Slice index 86; Axial slice; Brain
FLAIR MR.
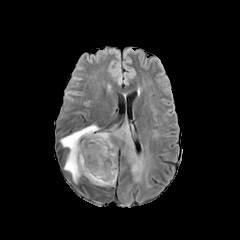
T1-weighted MRI.
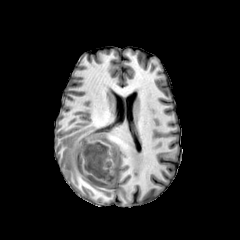
Post-contrast T1-weighted MR.
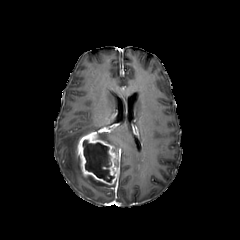
T2-weighted magnetic resonance.
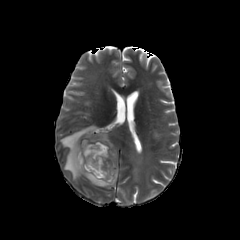
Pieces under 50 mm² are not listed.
<segmentation>
  <necrotic_tumor_core>x1=83 y1=140 x2=114 y2=182</necrotic_tumor_core>
  <enhancing_tumor>x1=76 y1=132 x2=119 y2=185</enhancing_tumor>
  <peritumoral_edema>x1=98 y1=129 x2=145 y2=181, x1=60 y1=124 x2=99 y2=182, x1=87 y1=176 x2=108 y2=186</peritumoral_edema>
</segmentation>